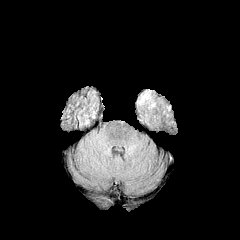
FLAIR MR.
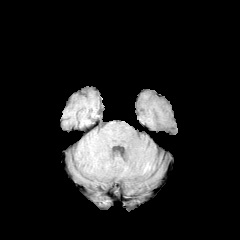
T1-weighted MRI of the same slice.
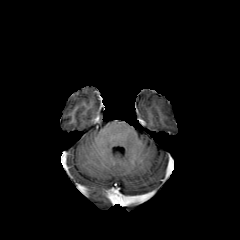
Same slice, post-contrast T1-weighted magnetic resonance.
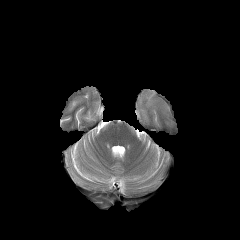
T2-weighted magnetic resonance of the same slice.
Axial slice.
peritumoral edema = <bbox>142, 92, 154, 106</bbox>